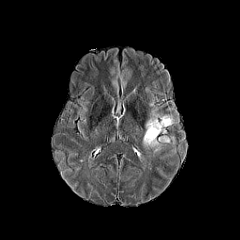
FLAIR MR image.
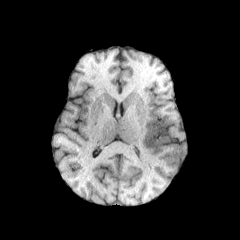
T1-weighted MR.
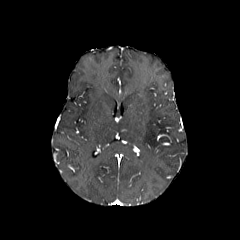
Post-contrast T1-weighted MR image of the same slice.
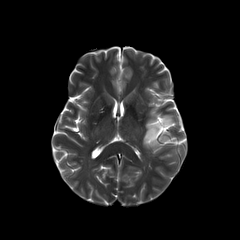
Same slice, T2-weighted MR image.
Axial plane
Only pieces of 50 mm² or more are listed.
Annotated regions:
- peritumoral edema: box(143, 115, 173, 147)